FLAIR MR.
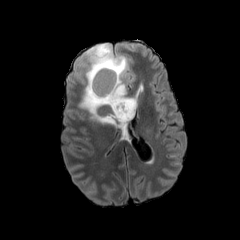
T1-weighted magnetic resonance.
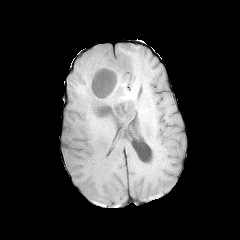
Post-contrast T1-weighted MR image.
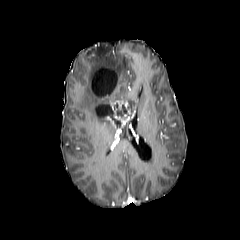
T2-weighted MR.
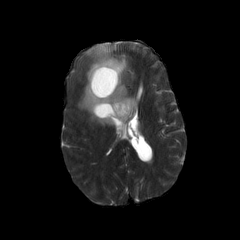
Axial slice
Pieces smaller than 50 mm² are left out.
enhancing tumor: (105,103,134,129), (117,101,128,109)
necrotic tumor core: (96,105,110,116), (92,68,117,96)
peritumoral edema: (78,43,136,124)